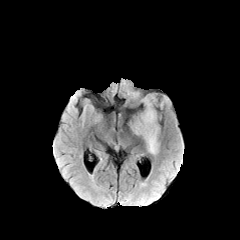
FLAIR MRI.
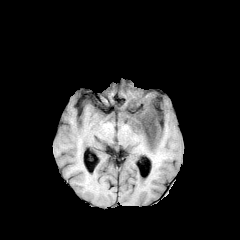
T1-weighted MR image of the same slice.
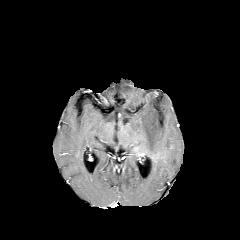
Post-contrast T1-weighted magnetic resonance of the same slice.
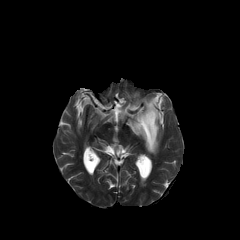
Same slice, T2-weighted MR image.
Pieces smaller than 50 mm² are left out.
peritumoral_edema:
  - rect(131, 98, 159, 154)